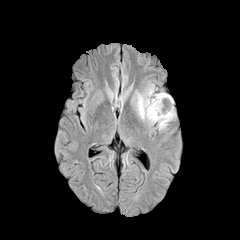
FLAIR magnetic resonance.
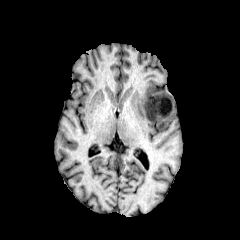
T1-weighted MR image of the same slice.
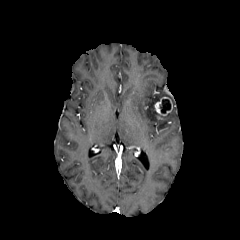
Post-contrast T1-weighted magnetic resonance.
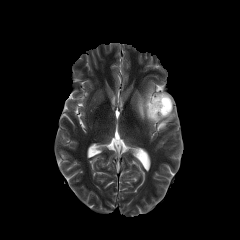
Same slice, T2-weighted magnetic resonance.
enhancing tumor: bbox=[153, 97, 172, 118]
necrotic tumor core: bbox=[160, 99, 171, 113]
peritumoral edema: bbox=[136, 85, 175, 129]